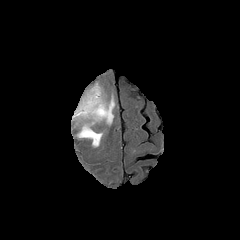
FLAIR MRI.
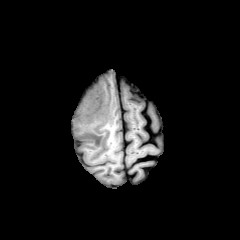
T1-weighted MRI.
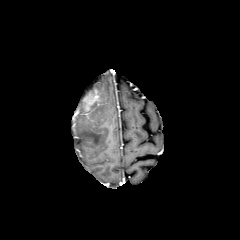
Same slice, post-contrast T1-weighted MRI.
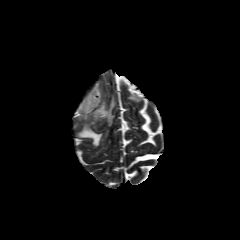
T2-weighted MR image of the same slice.
Axial view | Head
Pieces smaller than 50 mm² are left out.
<segmentation>
  <enhancing_tumor>{"x1": 83, "y1": 89, "x2": 100, "y2": 111}</enhancing_tumor>
  <peritumoral_edema>{"x1": 75, "y1": 85, "x2": 114, "y2": 124}, {"x1": 77, "y1": 124, "x2": 102, "y2": 146}</peritumoral_edema>
</segmentation>